Image width 240 mm
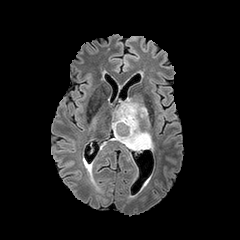
FLAIR magnetic resonance.
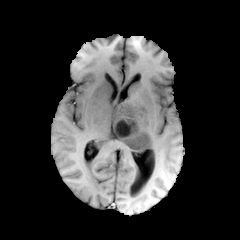
T1-weighted magnetic resonance.
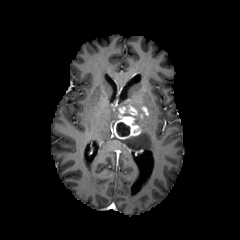
Post-contrast T1-weighted magnetic resonance.
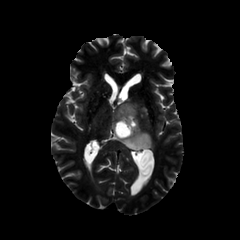
T2-weighted MR image.
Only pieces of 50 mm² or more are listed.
<segmentation>
  <enhancing_tumor>rect(114, 105, 141, 138)</enhancing_tumor>
  <peritumoral_edema>rect(113, 107, 121, 129); rect(119, 98, 153, 149)</peritumoral_edema>
  <necrotic_tumor_core>rect(116, 122, 129, 136)</necrotic_tumor_core>
</segmentation>